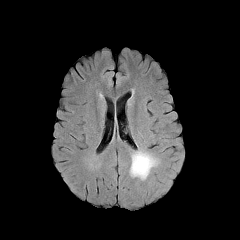
FLAIR MR image.
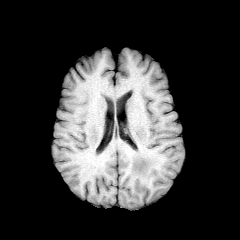
T1-weighted magnetic resonance.
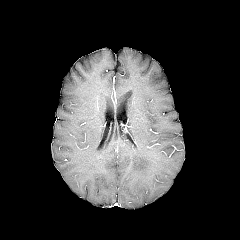
Post-contrast T1-weighted MR.
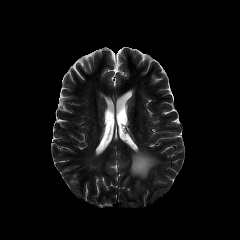
T2-weighted magnetic resonance of the same slice.
Brain
• peritumoral edema: (left=130, top=151, right=158, bottom=179)